FLAIR MRI.
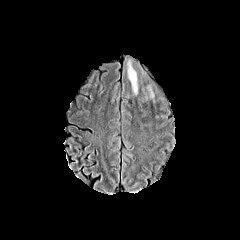
T1-weighted magnetic resonance.
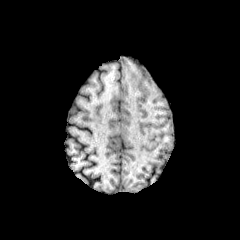
Post-contrast T1-weighted MRI.
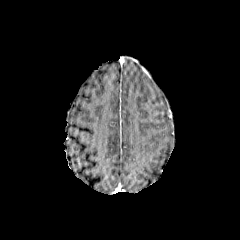
T2-weighted MR image.
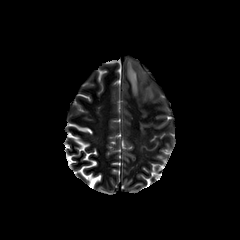
Axial plane | Head
Findings:
* peritumoral edema: {"x1": 147, "y1": 85, "x2": 154, "y2": 99}, {"x1": 126, "y1": 60, "x2": 138, "y2": 96}